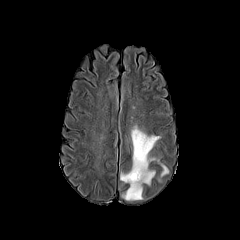
FLAIR magnetic resonance.
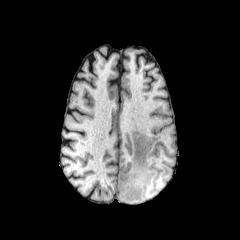
Same slice, T1-weighted magnetic resonance.
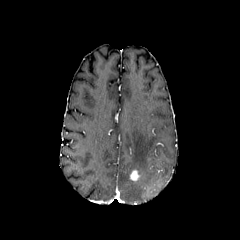
Post-contrast T1-weighted MR image.
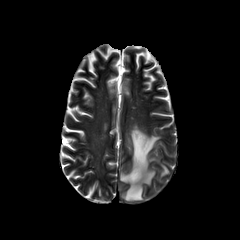
T2-weighted MR of the same slice.
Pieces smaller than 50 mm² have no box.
peritumoral_edema:
  - {"x1": 161, "y1": 164, "x2": 168, "y2": 176}
  - {"x1": 120, "y1": 125, "x2": 160, "y2": 200}
enhancing_tumor:
  - {"x1": 130, "y1": 169, "x2": 140, "y2": 181}